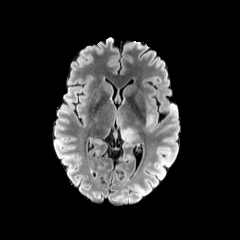
FLAIR MRI.
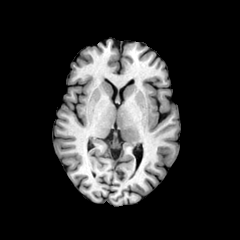
T1-weighted MR.
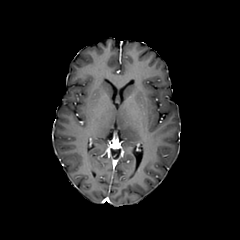
Same slice, post-contrast T1-weighted MRI.
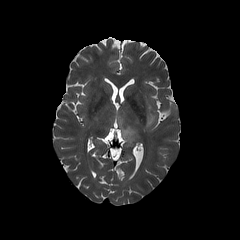
T2-weighted MR image.
Axial slice, Image size 240x240, Head
peritumoral edema — l=167, t=102, r=177, b=115; l=145, t=100, r=156, b=131; l=118, t=109, r=139, b=143